Slice 78 of 155. Head.
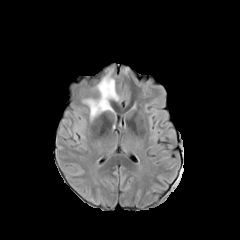
FLAIR MR image.
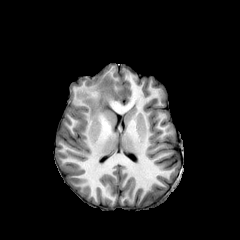
T1-weighted MR image.
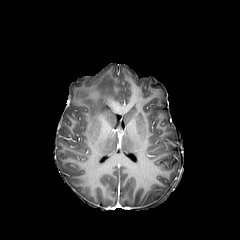
Same slice, post-contrast T1-weighted MRI.
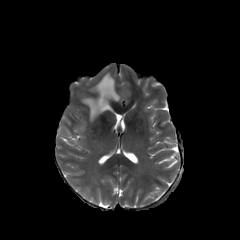
Same slice, T2-weighted MR.
The peritumoral edema appears at 82 73 119 119.